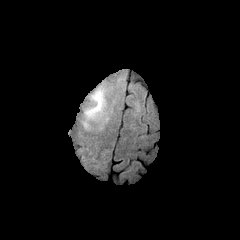
FLAIR MRI.
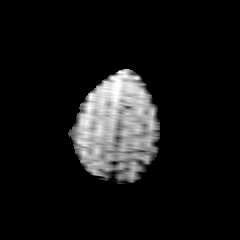
Same slice, T1-weighted MRI.
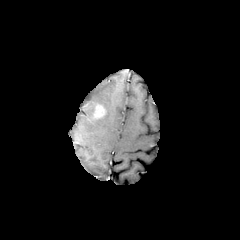
Post-contrast T1-weighted magnetic resonance.
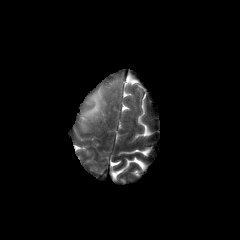
T2-weighted magnetic resonance.
Brain; 240x240 px
peritumoral edema at <bbox>83, 86, 110, 128</bbox>
enhancing tumor at <bbox>94, 107, 102, 117</bbox>